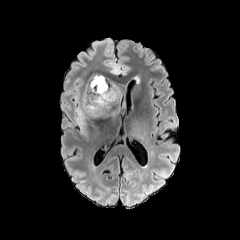
FLAIR MR.
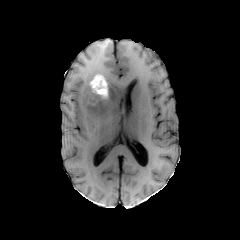
T1-weighted MRI.
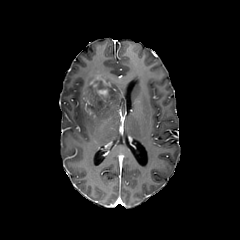
Post-contrast T1-weighted magnetic resonance.
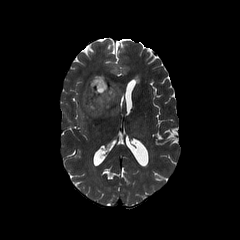
T2-weighted magnetic resonance of the same slice.
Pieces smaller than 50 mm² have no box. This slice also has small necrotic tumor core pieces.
• peritumoral edema: x1=75 y1=74 x2=120 y2=127, x1=111 y1=63 x2=120 y2=75
• enhancing tumor: x1=85 y1=76 x2=108 y2=100